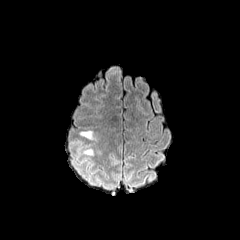
FLAIR MRI.
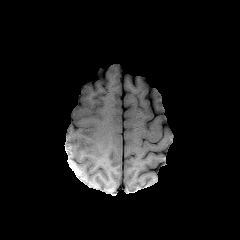
T1-weighted MR image.
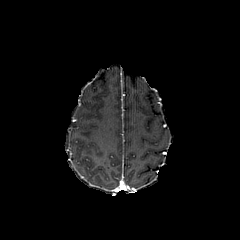
Same slice, post-contrast T1-weighted MR.
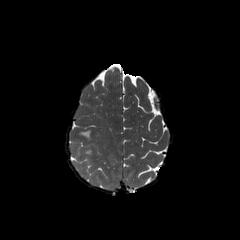
T2-weighted MR image.
Head; Image size 240x240
peritumoral_edema:
  - [x1=80, y1=130, x2=97, y2=143]
  - [x1=84, y1=149, x2=95, y2=155]